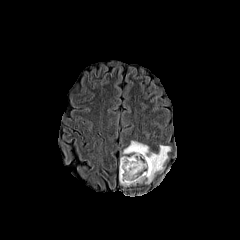
FLAIR magnetic resonance.
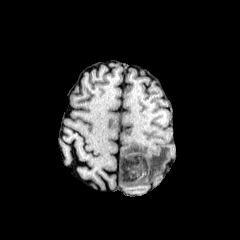
T1-weighted MR image.
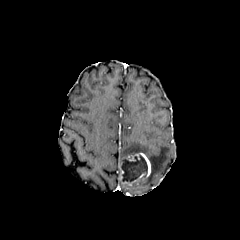
Post-contrast T1-weighted MR image.
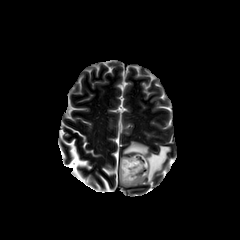
T2-weighted MR.
240x240 px | Axial view | Brain
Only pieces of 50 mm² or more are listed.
necrotic tumor core at rect(121, 155, 147, 182)
peritumoral edema at rect(120, 141, 170, 183)
enhancing tumor at rect(119, 153, 151, 187)